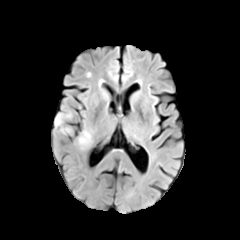
FLAIR MR.
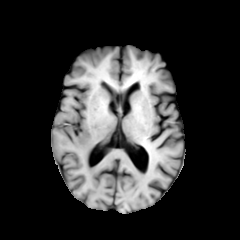
T1-weighted magnetic resonance.
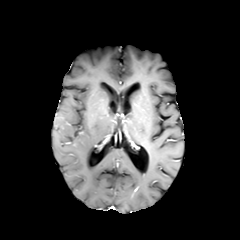
Post-contrast T1-weighted MR.
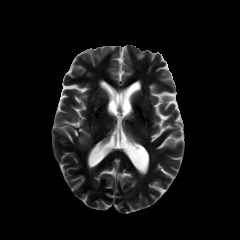
Same slice, T2-weighted MR image.
Axial plane. Brain.
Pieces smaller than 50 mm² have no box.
peritumoral edema: 55 117 61 126, 78 130 91 148